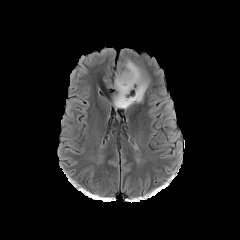
FLAIR magnetic resonance.
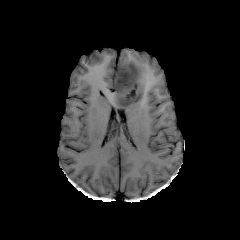
T1-weighted MRI.
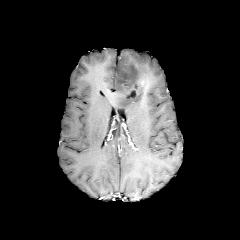
Post-contrast T1-weighted MR.
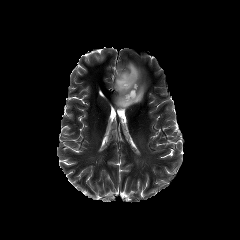
Same slice, T2-weighted MR.
240x240 | Head
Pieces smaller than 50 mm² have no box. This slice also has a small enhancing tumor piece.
2 necrotic tumor core regions are bounded by l=127, t=90, r=136, b=102; l=117, t=67, r=137, b=89. The peritumoral edema appears at l=113, t=60, r=148, b=109.